FLAIR MRI.
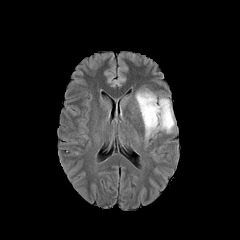
T1-weighted MRI.
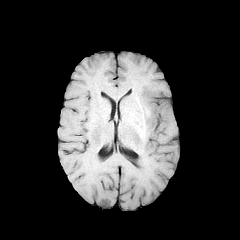
Post-contrast T1-weighted MR.
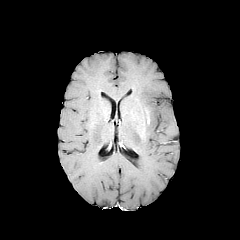
T2-weighted MR image.
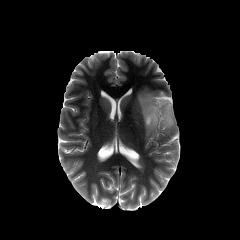
Axial view | Head
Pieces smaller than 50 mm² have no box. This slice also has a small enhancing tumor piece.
peritumoral edema: bounding box x1=136 y1=91 x2=174 y2=137